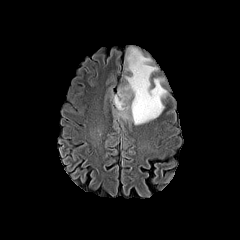
FLAIR MR image.
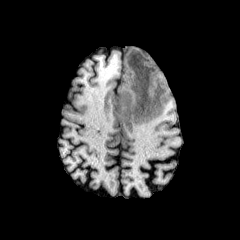
Same slice, T1-weighted magnetic resonance.
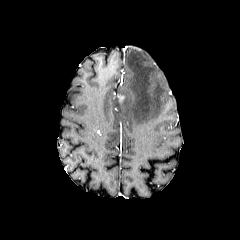
Post-contrast T1-weighted magnetic resonance of the same slice.
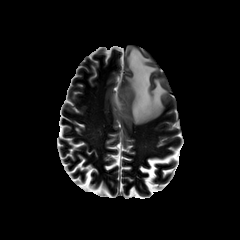
T2-weighted MR image.
240x240.
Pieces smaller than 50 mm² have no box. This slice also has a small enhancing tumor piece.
peritumoral_edema:
  - [113,48,167,124]